Image covers 240 mm x 240 mm, Brain
FLAIR MR image.
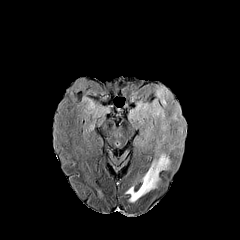
T1-weighted MRI.
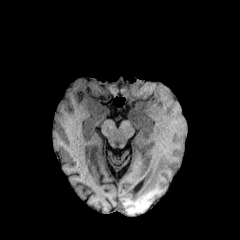
Post-contrast T1-weighted MR image.
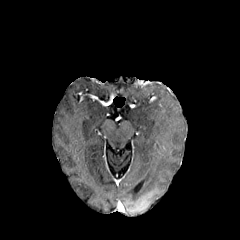
T2-weighted MRI.
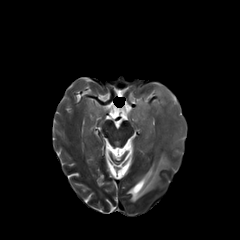
peritumoral edema — (left=126, top=86, right=185, bottom=201)